FLAIR MR.
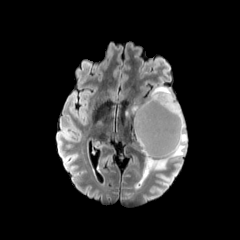
T1-weighted MR image.
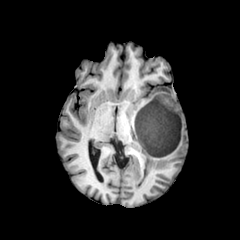
Post-contrast T1-weighted MRI.
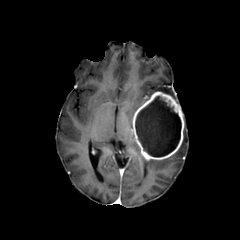
T2-weighted MR.
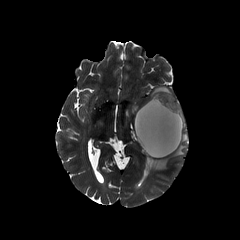
Image size 240x240
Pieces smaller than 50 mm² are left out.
enhancing tumor: 133,91,184,160 | necrotic tumor core: 135,96,181,157 | peritumoral edema: 125,85,175,120; 146,122,187,174